FLAIR magnetic resonance.
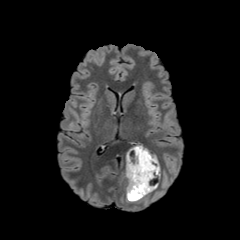
T1-weighted MRI.
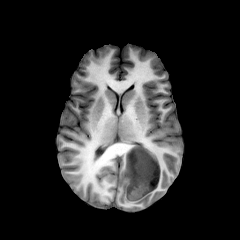
Post-contrast T1-weighted MRI.
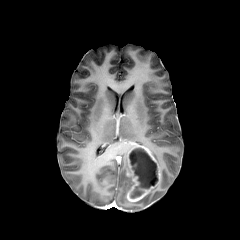
T2-weighted magnetic resonance.
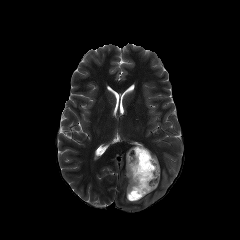
Axial view | Brain
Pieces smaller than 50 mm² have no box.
- necrotic tumor core: 129, 148, 158, 198
- peritumoral edema: 126, 177, 140, 202
- enhancing tumor: 126, 145, 160, 201